Slice 75/155 | Image width 240 mm | Axial plane
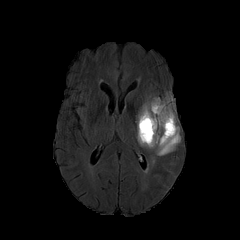
FLAIR MRI.
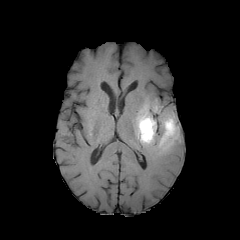
T1-weighted MR.
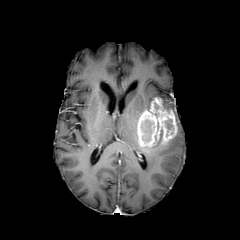
Same slice, post-contrast T1-weighted MR.
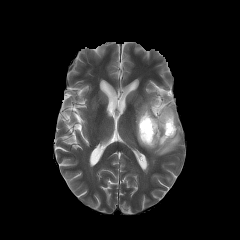
Same slice, T2-weighted MRI.
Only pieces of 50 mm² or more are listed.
The 2 largest necrotic tumor core regions are bounded by [x1=141, y1=120, x2=152, y2=140], [x1=165, y1=119, x2=173, y2=130]. The enhancing tumor is located at [x1=137, y1=97, x2=177, y2=147]. The 3 largest peritumoral edema regions are bounded by [x1=145, y1=125, x2=180, y2=155], [x1=136, y1=97, x2=155, y2=122], [x1=162, y1=93, x2=174, y2=111].